Slice index 57.
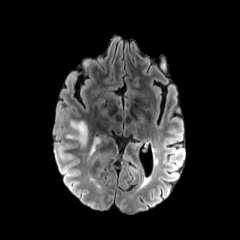
FLAIR magnetic resonance.
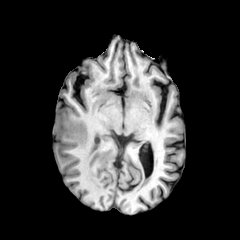
T1-weighted MR image of the same slice.
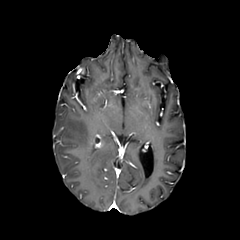
Post-contrast T1-weighted MRI.
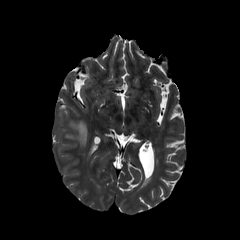
T2-weighted MR of the same slice.
<segmentation>
  <peritumoral_edema>bbox(89, 137, 100, 155); bbox(65, 120, 87, 145)</peritumoral_edema>
</segmentation>